Head, Image width 240 mm, 1.00 mm slice spacing, 240x240 px, Slice index 60
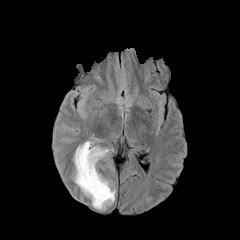
FLAIR MR image.
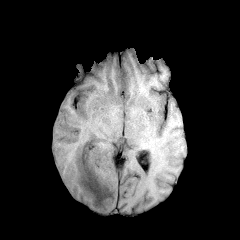
Same slice, T1-weighted magnetic resonance.
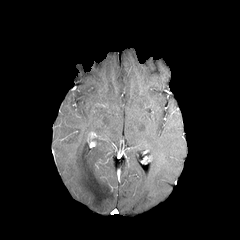
Post-contrast T1-weighted magnetic resonance.
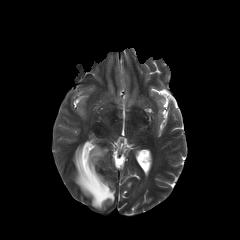
T2-weighted MR.
peritumoral edema: bbox=[74, 141, 115, 209]